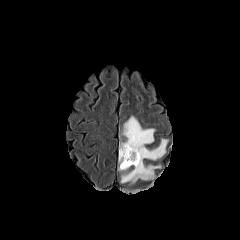
FLAIR magnetic resonance.
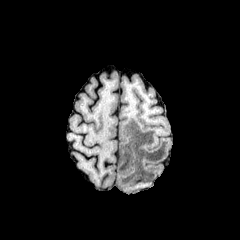
T1-weighted MRI.
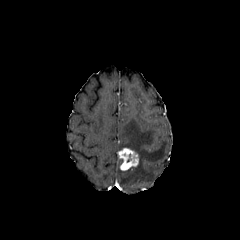
Post-contrast T1-weighted MR.
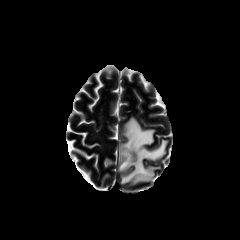
T2-weighted MR.
Brain. Axial plane.
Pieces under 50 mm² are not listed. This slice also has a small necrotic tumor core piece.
Annotated regions:
• peritumoral edema: (118,116,167,183)
• enhancing tumor: (119,148,139,170)